Axial slice. Image size 240x240. Slice 53/155.
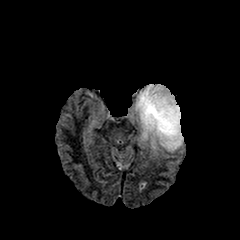
FLAIR MR.
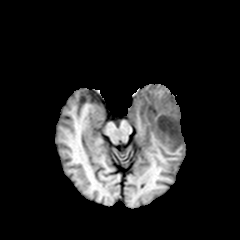
T1-weighted MR image of the same slice.
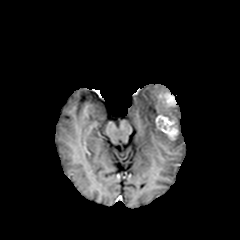
Same slice, post-contrast T1-weighted MRI.
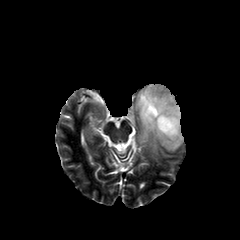
T2-weighted MR image of the same slice.
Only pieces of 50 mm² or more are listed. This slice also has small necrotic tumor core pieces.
enhancing tumor: l=157, t=92, r=175, b=110; l=155, t=114, r=178, b=140 | peritumoral edema: l=134, t=84, r=183, b=154